Image width 240 mm, 1.00 mm slice spacing | Axial slice
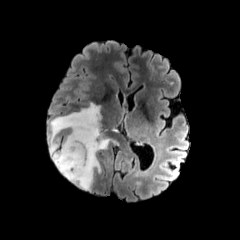
FLAIR magnetic resonance.
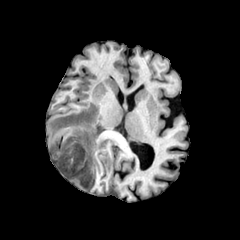
T1-weighted MR of the same slice.
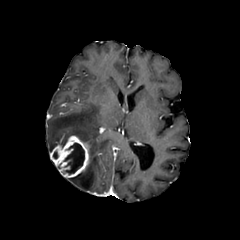
Post-contrast T1-weighted magnetic resonance.
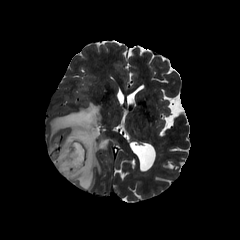
T2-weighted MRI.
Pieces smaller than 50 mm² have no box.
{"enhancing_tumor": ["50, 135, 89, 178"], "peritumoral_edema": ["50, 103, 109, 189"], "necrotic_tumor_core": ["64, 143, 84, 174"]}